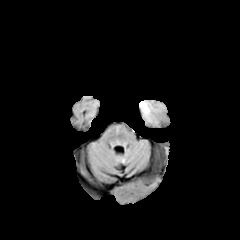
FLAIR magnetic resonance.
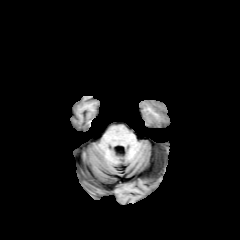
T1-weighted magnetic resonance.
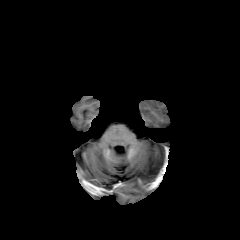
Post-contrast T1-weighted MRI of the same slice.
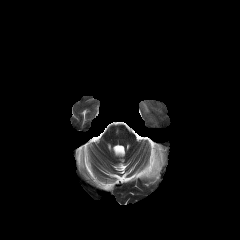
T2-weighted MRI.
Brain | Axial view
<segmentation>
  <peritumoral_edema>(left=139, top=100, right=153, bottom=120)</peritumoral_edema>
</segmentation>